Brain. Axial plane.
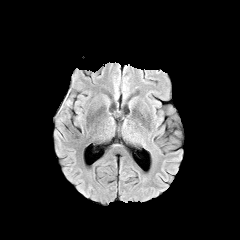
FLAIR magnetic resonance.
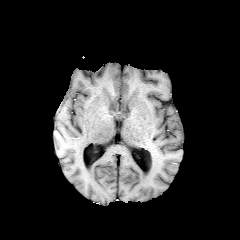
T1-weighted MR.
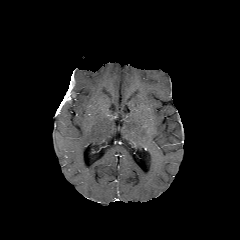
Post-contrast T1-weighted MR image.
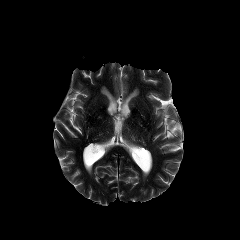
T2-weighted MRI.
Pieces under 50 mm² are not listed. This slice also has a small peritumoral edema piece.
enhancing_tumor:
  - rect(56, 86, 70, 114)